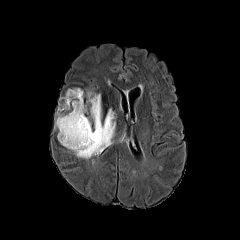
FLAIR magnetic resonance.
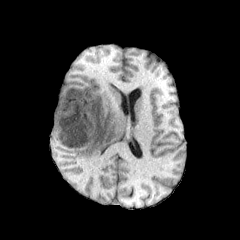
T1-weighted MR image of the same slice.
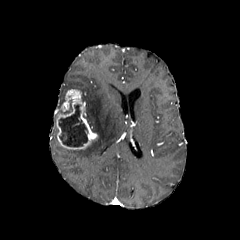
Same slice, post-contrast T1-weighted MR image.
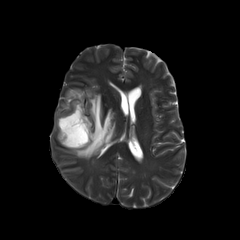
T2-weighted magnetic resonance of the same slice.
Brain; Axial slice; 240x240
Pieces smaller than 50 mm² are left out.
<segmentation>
  <necrotic_tumor_core>rect(59, 105, 87, 146)</necrotic_tumor_core>
  <peritumoral_edema>rect(70, 91, 115, 159)</peritumoral_edema>
  <enhancing_tumor>rect(54, 89, 98, 149)</enhancing_tumor>
</segmentation>